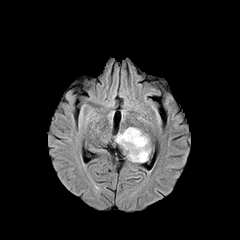
FLAIR magnetic resonance.
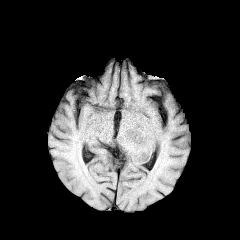
T1-weighted magnetic resonance of the same slice.
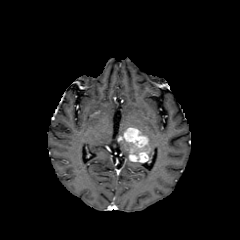
Same slice, post-contrast T1-weighted magnetic resonance.
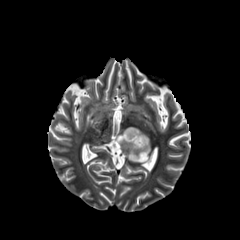
T2-weighted MRI.
Brain
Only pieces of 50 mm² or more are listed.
• enhancing tumor: 117, 127, 150, 162
• peritumoral edema: 116, 132, 129, 150